Brain. Axial view.
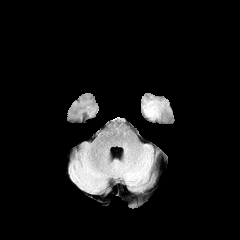
FLAIR magnetic resonance.
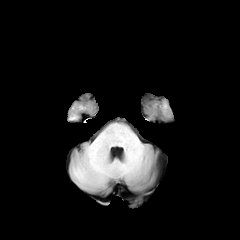
T1-weighted MRI.
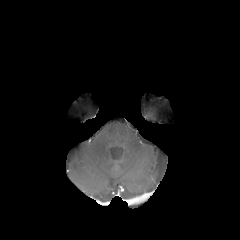
Post-contrast T1-weighted MR of the same slice.
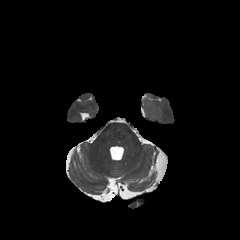
T2-weighted MR image.
peritumoral edema — x1=143, y1=99, x2=161, y2=119